Brain. Image width 240 mm.
FLAIR magnetic resonance.
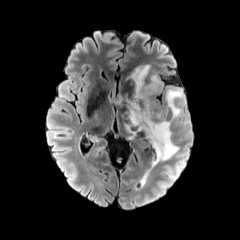
T1-weighted MR.
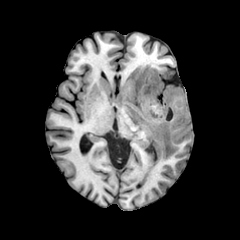
Post-contrast T1-weighted MR image.
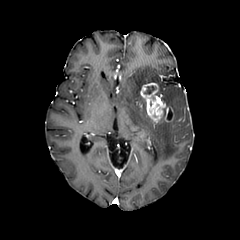
T2-weighted magnetic resonance.
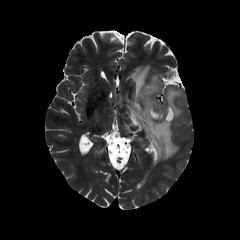
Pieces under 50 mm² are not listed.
peritumoral_edema:
  - bbox(166, 88, 185, 118)
  - bbox(125, 65, 179, 164)
enhancing_tumor:
  - bbox(140, 83, 173, 122)
necrotic_tumor_core:
  - bbox(144, 86, 155, 94)